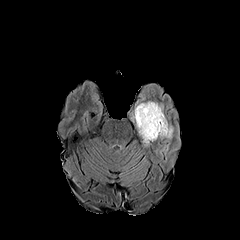
FLAIR MR.
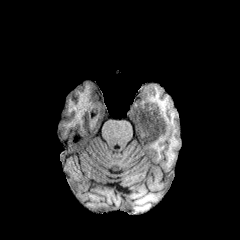
T1-weighted MR.
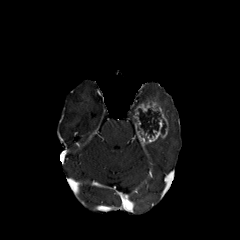
Post-contrast T1-weighted MR.
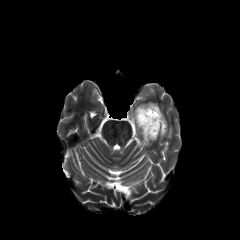
Same slice, T2-weighted MR.
240x240 px | Axial view
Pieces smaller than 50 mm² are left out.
enhancing tumor — region(133, 101, 168, 143)
peritumoral edema — region(166, 125, 173, 138)
necrotic tumor core — region(137, 108, 166, 137)